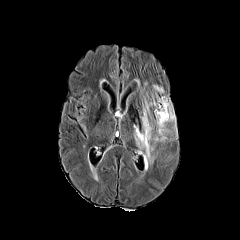
FLAIR MR image.
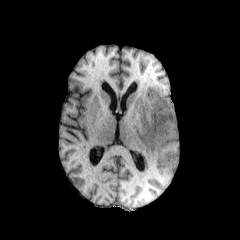
T1-weighted MRI of the same slice.
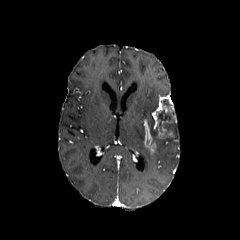
Post-contrast T1-weighted MR image.
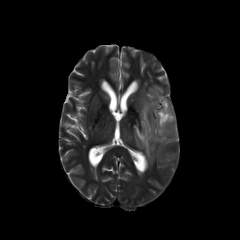
T2-weighted magnetic resonance of the same slice.
240x240; Axial view
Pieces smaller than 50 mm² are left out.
Segmented structures:
- peritumoral edema: x1=134 y1=85 x2=167 y2=164, x1=164 y1=123 x2=177 y2=138
- enhancing tumor: x1=152 y1=96 x2=176 y2=138, x1=143 y1=119 x2=156 y2=152
- necrotic tumor core: x1=158 y1=110 x2=174 y2=130